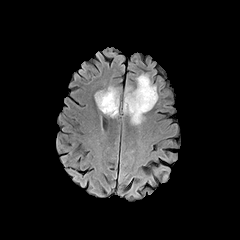
FLAIR MR.
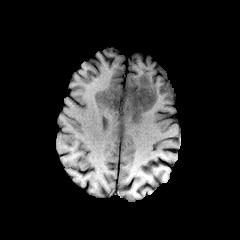
T1-weighted MRI.
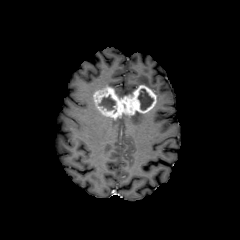
Same slice, post-contrast T1-weighted magnetic resonance.
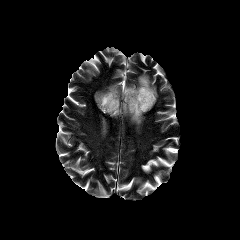
T2-weighted MR image.
240x240 px
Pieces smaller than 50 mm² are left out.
Annotated regions:
- peritumoral edema: <box>129,113,144,131</box>, <box>124,86,135,94</box>, <box>136,74,158,100</box>
- enhancing tumor: <box>93,84,156,118</box>
- necrotic tumor core: <box>138,89,153,109</box>, <box>99,95,115,110</box>